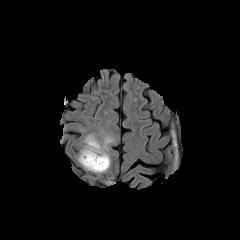
FLAIR MRI.
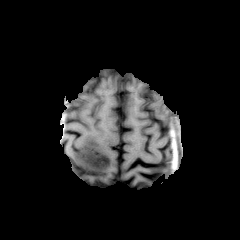
T1-weighted MR image.
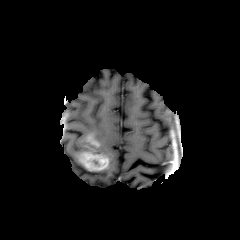
Post-contrast T1-weighted MRI.
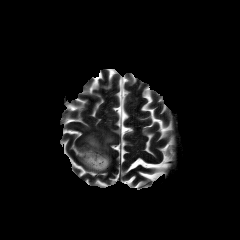
T2-weighted magnetic resonance.
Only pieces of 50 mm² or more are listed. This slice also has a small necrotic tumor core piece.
* peritumoral edema: l=79, t=133, r=114, b=173
* enhancing tumor: l=87, t=136, r=99, b=147; l=78, t=146, r=109, b=171